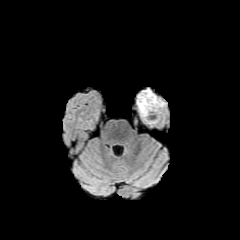
FLAIR MR.
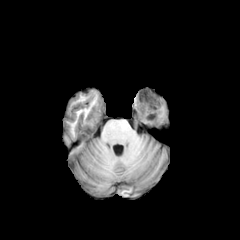
T1-weighted magnetic resonance of the same slice.
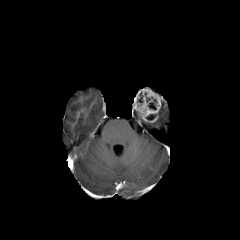
Post-contrast T1-weighted magnetic resonance of the same slice.
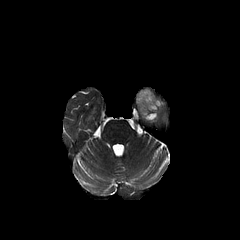
T2-weighted MR image.
Head.
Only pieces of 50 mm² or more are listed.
necrotic tumor core: rect(146, 114, 156, 120); rect(148, 99, 156, 109)
enhancing tumor: rect(134, 88, 162, 122)